Image width 240 mm | Head
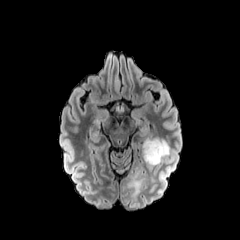
FLAIR MR image.
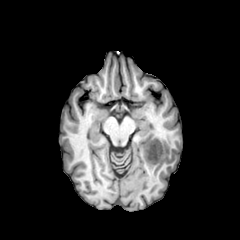
T1-weighted MRI.
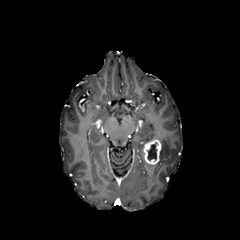
Post-contrast T1-weighted MRI.
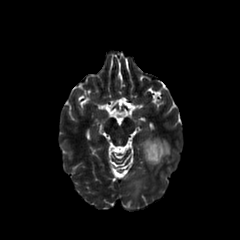
T2-weighted magnetic resonance of the same slice.
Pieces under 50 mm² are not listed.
<segmentation>
  <necrotic_tumor_core>{"x1": 147, "y1": 144, "x2": 156, "y2": 160}</necrotic_tumor_core>
  <peritumoral_edema>{"x1": 127, "y1": 178, "x2": 146, "y2": 200}, {"x1": 142, "y1": 137, "x2": 170, "y2": 164}</peritumoral_edema>
  <enhancing_tumor>{"x1": 143, "y1": 139, "x2": 161, "y2": 164}</enhancing_tumor>
</segmentation>